FLAIR MR.
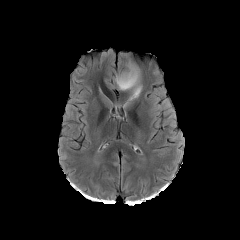
T1-weighted MR.
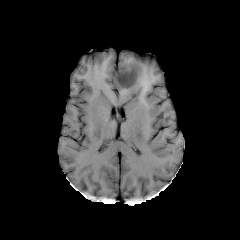
Post-contrast T1-weighted MR image.
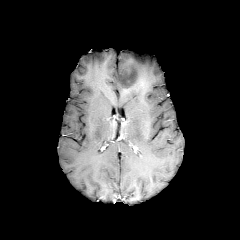
T2-weighted magnetic resonance.
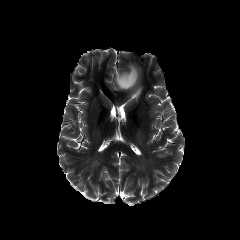
Brain | Axial plane
necrotic_tumor_core:
  - rect(119, 73, 134, 85)
peritumoral_edema:
  - rect(114, 63, 142, 106)